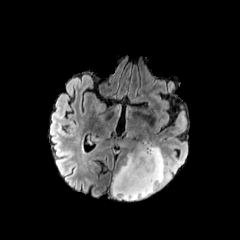
FLAIR magnetic resonance.
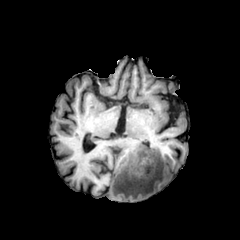
Same slice, T1-weighted MR.
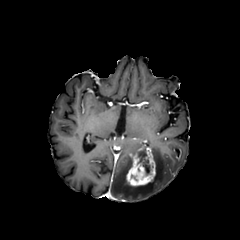
Same slice, post-contrast T1-weighted MR image.
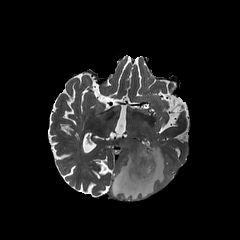
Same slice, T2-weighted MR image.
Brain. Image size 240x240. Axial slice.
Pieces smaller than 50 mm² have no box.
{"peritumoral_edema": ["region(111, 144, 166, 200)"], "necrotic_tumor_core": ["region(136, 150, 150, 173)"], "enhancing_tumor": ["region(126, 146, 156, 186)"]}